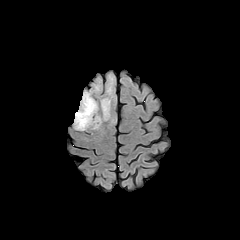
FLAIR magnetic resonance.
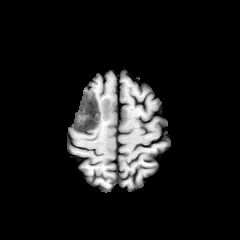
T1-weighted magnetic resonance of the same slice.
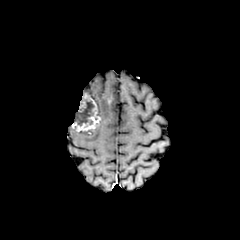
Post-contrast T1-weighted MR of the same slice.
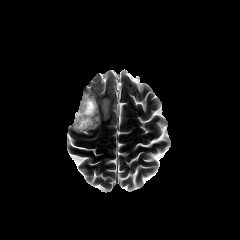
Same slice, T2-weighted magnetic resonance.
Brain
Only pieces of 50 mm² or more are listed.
peritumoral_edema:
  - box(101, 98, 110, 120)
necrotic_tumor_core:
  - box(75, 100, 93, 125)
enhancing_tumor:
  - box(72, 93, 100, 131)